FLAIR MRI.
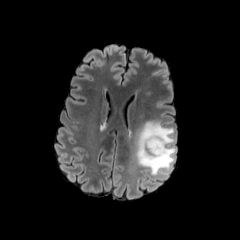
T1-weighted magnetic resonance.
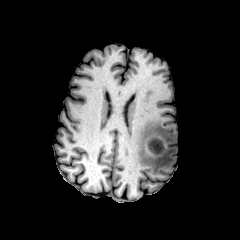
Post-contrast T1-weighted MRI.
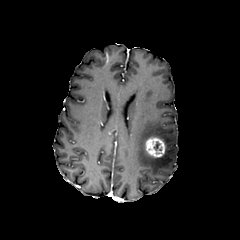
T2-weighted MRI.
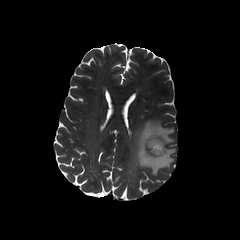
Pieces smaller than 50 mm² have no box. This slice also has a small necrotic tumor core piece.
enhancing_tumor:
  - l=145, t=137, r=165, b=157
peritumoral_edema:
  - l=135, t=120, r=176, b=175